FLAIR MR.
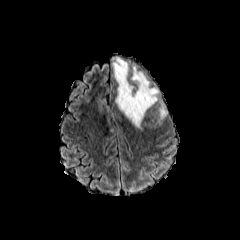
T1-weighted MR.
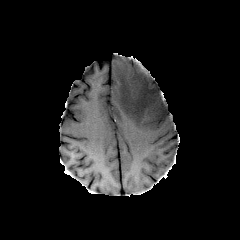
Post-contrast T1-weighted magnetic resonance.
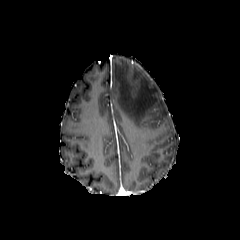
T2-weighted MRI.
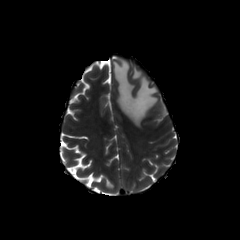
Head; 240x240 px
- peritumoral edema: x1=112, y1=57, x2=159, y2=128; x1=158, y1=101, x2=167, y2=118